Brain
FLAIR MR image.
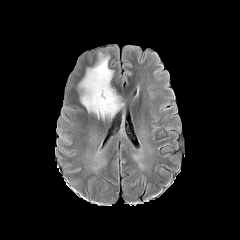
T1-weighted MR image.
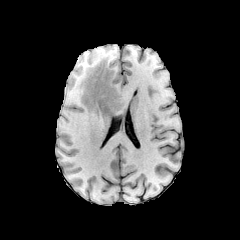
Post-contrast T1-weighted MRI.
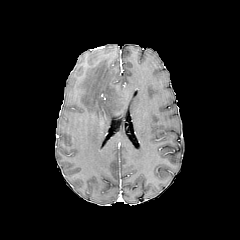
T2-weighted MR.
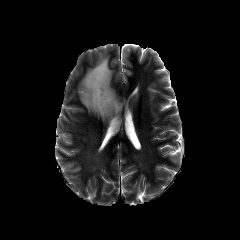
peritumoral edema: bounding box left=77, top=53, right=123, bottom=119